Axial view, 240x240, Brain, Slice index 84
FLAIR MRI.
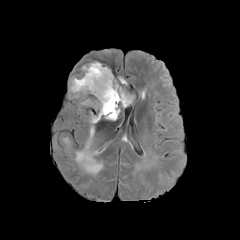
T1-weighted magnetic resonance.
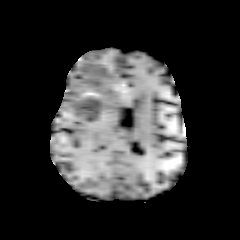
Post-contrast T1-weighted MRI.
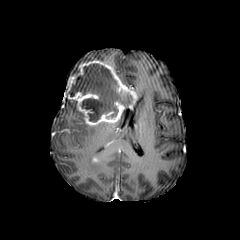
T2-weighted MRI.
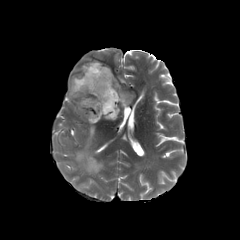
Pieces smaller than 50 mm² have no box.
The largest enhancing tumor region is located at bbox(67, 60, 136, 125). The largest necrotic tumor core region is bounded by bbox(68, 64, 131, 121). The largest peritumoral edema region is located at bbox(74, 126, 103, 173).